FLAIR magnetic resonance.
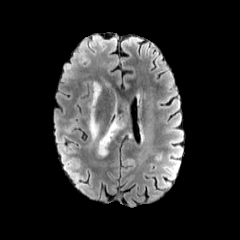
T1-weighted MRI.
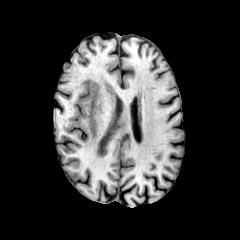
Post-contrast T1-weighted magnetic resonance.
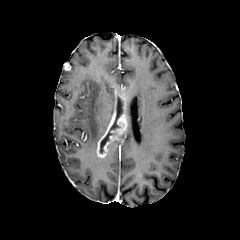
T2-weighted MR.
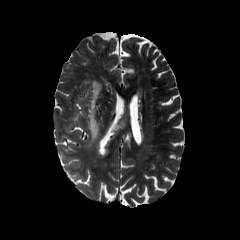
240x240.
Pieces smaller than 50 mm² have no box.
enhancing tumor at 97 115 127 157
peritumoral edema at 88 81 101 142
necrotic tumor core at 100 120 119 153